Brain | Axial plane | 240x240 px | Image width 240 mm, 1.00 mm slice spacing
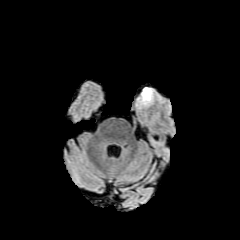
FLAIR MRI.
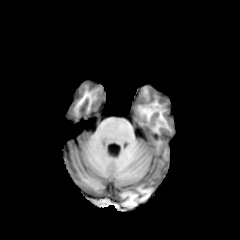
T1-weighted magnetic resonance.
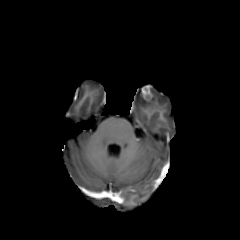
Post-contrast T1-weighted MRI of the same slice.
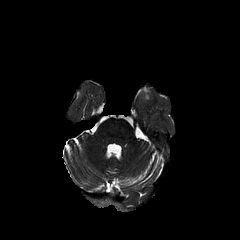
T2-weighted MR image.
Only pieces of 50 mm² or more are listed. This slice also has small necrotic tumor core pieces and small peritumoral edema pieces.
enhancing_tumor:
  - 140:87:153:100